FLAIR MR.
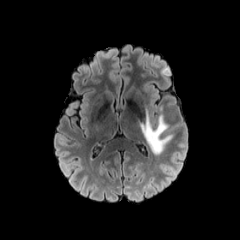
T1-weighted MRI.
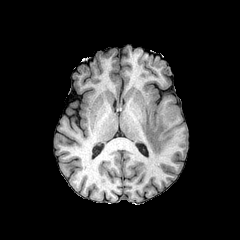
Post-contrast T1-weighted magnetic resonance.
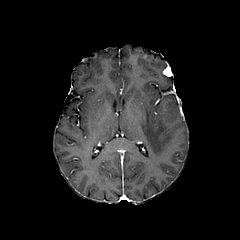
T2-weighted MRI.
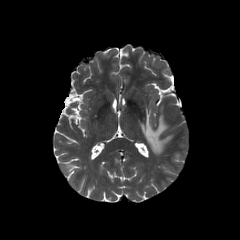
Axial view
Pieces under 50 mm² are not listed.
<segmentation>
  <peritumoral_edema>box=[138, 108, 172, 154]</peritumoral_edema>
</segmentation>